Image width 240 mm, 1.00 mm slice spacing
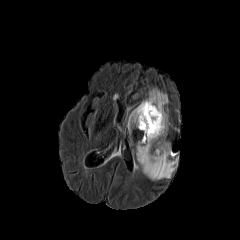
FLAIR MR.
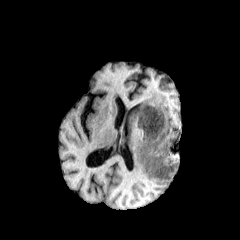
T1-weighted MR of the same slice.
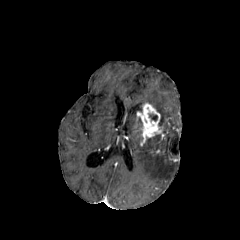
Post-contrast T1-weighted MR image.
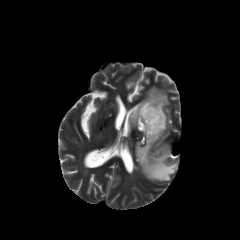
T2-weighted magnetic resonance of the same slice.
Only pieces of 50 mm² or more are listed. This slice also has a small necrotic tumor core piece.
enhancing tumor — (left=136, top=102, right=163, bottom=145)
peritumoral edema — (left=136, top=134, right=177, bottom=180), (left=128, top=88, right=168, bottom=133)